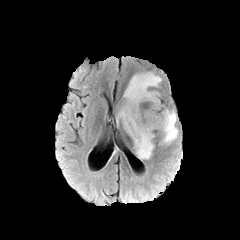
FLAIR magnetic resonance.
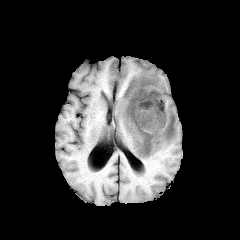
T1-weighted MR image.
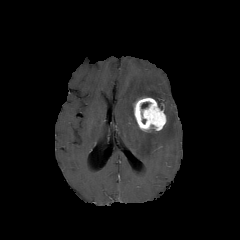
Same slice, post-contrast T1-weighted MR.
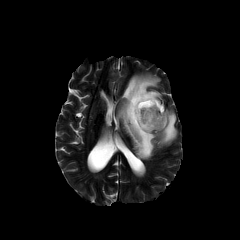
T2-weighted MR.
Image size 240x240. Head. Axial plane.
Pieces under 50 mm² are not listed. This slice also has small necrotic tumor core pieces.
The enhancing tumor is located at 133 97 166 131. 2 peritumoral edema regions are bounded by 157 109 178 145, 116 72 161 159.